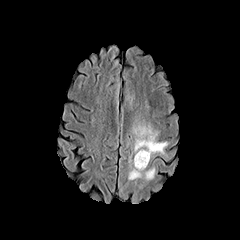
FLAIR MRI.
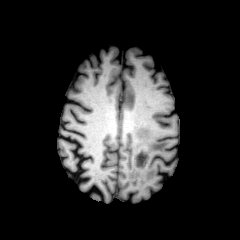
Same slice, T1-weighted MR image.
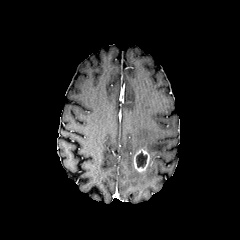
Post-contrast T1-weighted MR image of the same slice.
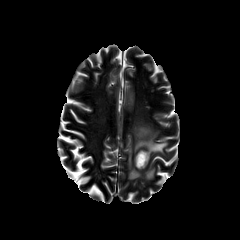
T2-weighted MRI of the same slice.
Brain.
Findings:
• enhancing tumor: <bbox>133, 149, 149, 171</bbox>
• peritumoral edema: <bbox>128, 166, 155, 180</bbox>, <bbox>134, 126, 170, 157</bbox>
• necrotic tumor core: <bbox>136, 151, 147, 167</bbox>